Image width 240 mm, 1.00 mm slice spacing, Slice 85 of 155, Head
FLAIR magnetic resonance.
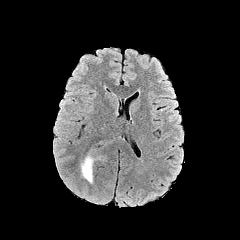
T1-weighted MRI.
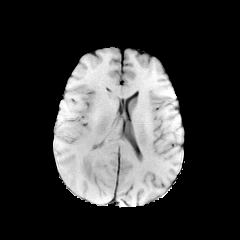
Post-contrast T1-weighted MR image.
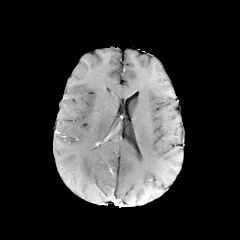
T2-weighted MRI.
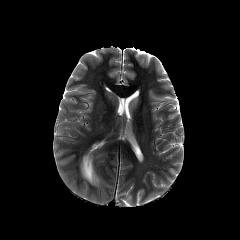
Segmented structures:
• peritumoral edema: (x1=80, y1=150, x2=101, y2=184)